Axial slice | Brain
FLAIR magnetic resonance.
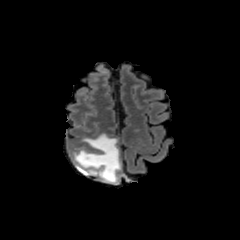
T1-weighted MRI.
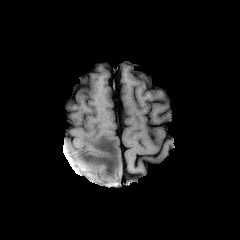
Post-contrast T1-weighted MRI.
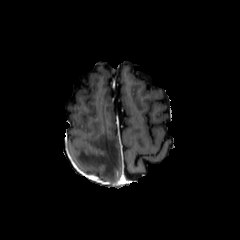
T2-weighted MRI.
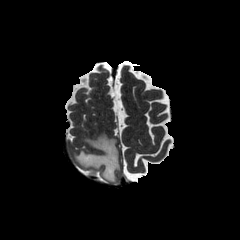
The peritumoral edema lies within [74,133,120,182].